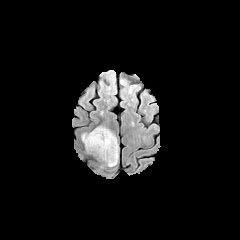
FLAIR MR image.
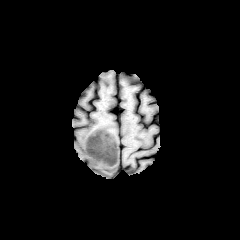
Same slice, T1-weighted magnetic resonance.
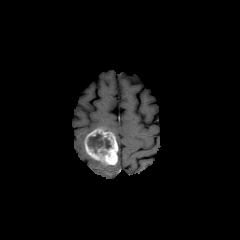
Post-contrast T1-weighted MR image.
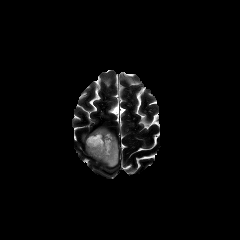
T2-weighted MR image.
Brain; Image size 240x240
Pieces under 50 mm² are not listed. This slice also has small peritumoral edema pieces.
<segmentation>
  <necrotic_tumor_core>[x1=87, y1=133, x2=110, y2=152]</necrotic_tumor_core>
  <enhancing_tumor>[x1=84, y1=128, x2=118, y2=165]</enhancing_tumor>
</segmentation>